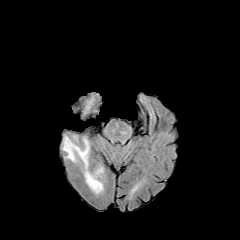
FLAIR MR image.
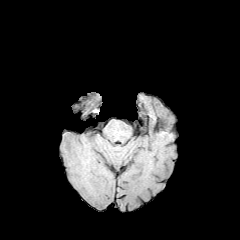
T1-weighted magnetic resonance.
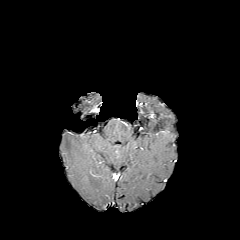
Post-contrast T1-weighted MRI.
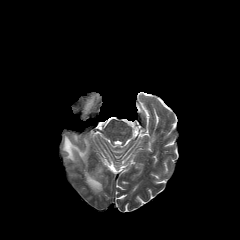
T2-weighted MR.
240x240; Head
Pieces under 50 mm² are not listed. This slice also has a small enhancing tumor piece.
peritumoral edema at left=85, top=96, right=93, bottom=112; left=62, top=135, right=103, bottom=194